FLAIR MR.
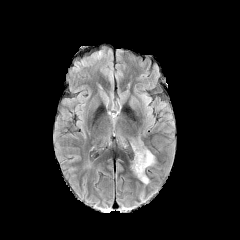
T1-weighted MRI.
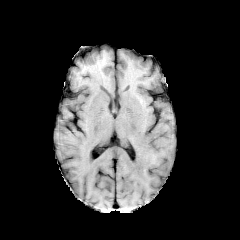
Post-contrast T1-weighted magnetic resonance.
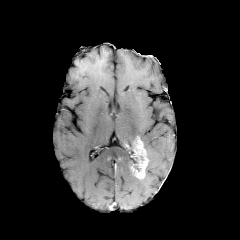
T2-weighted magnetic resonance.
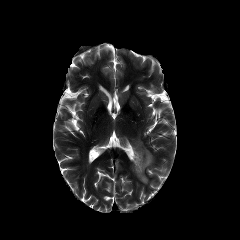
Brain | Image size 240x240
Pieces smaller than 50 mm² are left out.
The largest peritumoral edema region lies within (left=144, top=148, right=154, bottom=166). The enhancing tumor is at (left=131, top=138, right=148, bottom=178).